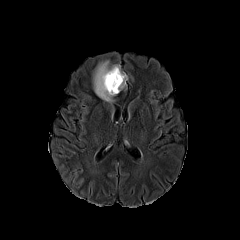
FLAIR MR image.
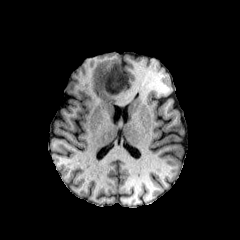
T1-weighted MR image.
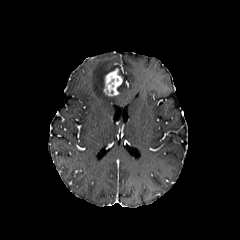
Post-contrast T1-weighted MRI of the same slice.
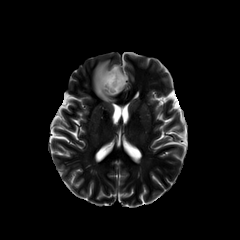
T2-weighted magnetic resonance.
Head.
{
  "peritumoral_edema": [
    "<bbox>93, 60, 128, 102</bbox>"
  ],
  "enhancing_tumor": [
    "<bbox>103, 68, 122, 96</bbox>"
  ]
}